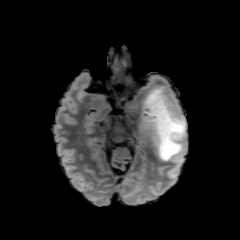
FLAIR magnetic resonance.
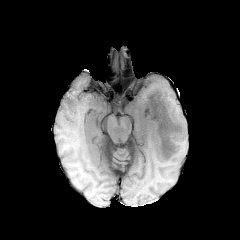
Same slice, T1-weighted MR.
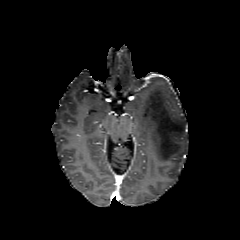
Same slice, post-contrast T1-weighted MR.
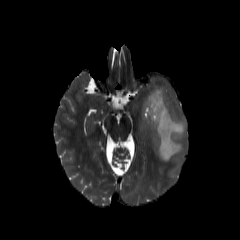
T2-weighted MR image of the same slice.
Brain
peritumoral edema = x1=139, y1=86, x2=186, y2=161